Axial slice
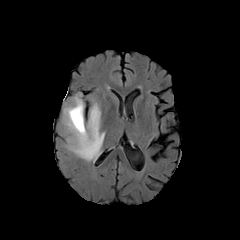
FLAIR magnetic resonance.
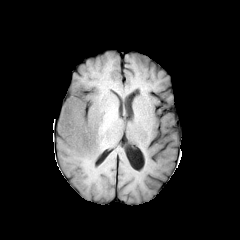
T1-weighted MR of the same slice.
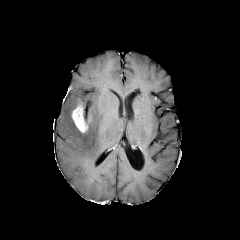
Same slice, post-contrast T1-weighted MRI.
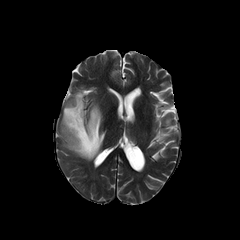
T2-weighted MR image.
peritumoral edema = 61:92:105:161
enhancing tumor = 71:100:88:133